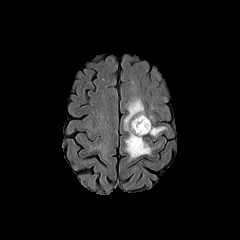
FLAIR MR image.
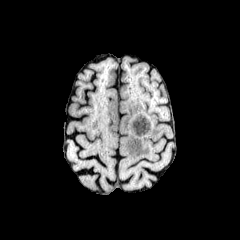
T1-weighted MRI.
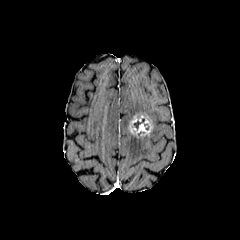
Post-contrast T1-weighted magnetic resonance.
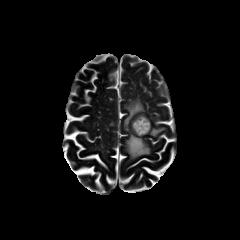
T2-weighted magnetic resonance of the same slice.
Brain
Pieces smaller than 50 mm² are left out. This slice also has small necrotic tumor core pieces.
peritumoral_edema:
  - bbox=[126, 133, 150, 158]
  - bbox=[150, 127, 165, 136]
  - bbox=[124, 99, 145, 132]
enhancing_tumor:
  - bbox=[128, 113, 152, 137]